240x240 px | Slice 103 of 155 | Axial view | Head
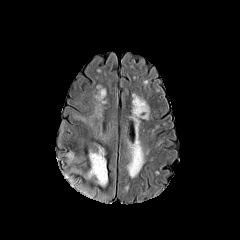
FLAIR magnetic resonance.
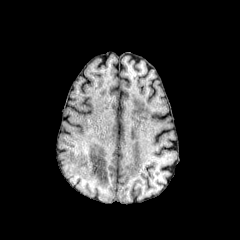
Same slice, T1-weighted MR.
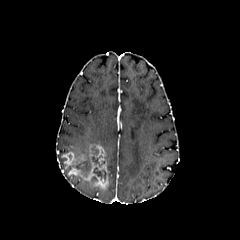
Post-contrast T1-weighted MR image of the same slice.
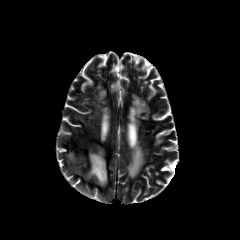
T2-weighted MR of the same slice.
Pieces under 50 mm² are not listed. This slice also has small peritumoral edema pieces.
enhancing tumor at region(68, 144, 107, 187); region(62, 152, 85, 166)
necrotic tumor core at region(93, 167, 106, 179); region(91, 156, 104, 166)